FLAIR MR image.
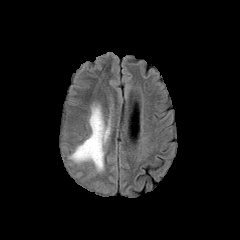
T1-weighted MR.
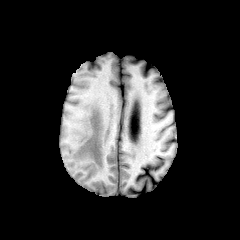
Post-contrast T1-weighted MR image.
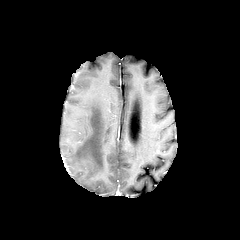
T2-weighted MR.
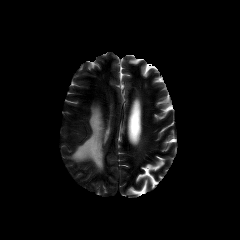
Brain, Axial plane, 240x240 px
<segmentation>
  <peritumoral_edema>[72, 107, 109, 170]</peritumoral_edema>
</segmentation>